FLAIR MR.
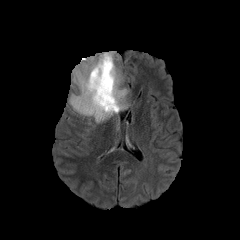
T1-weighted MR image.
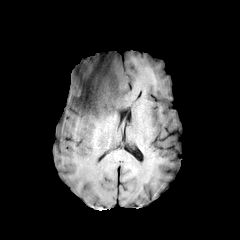
Post-contrast T1-weighted MRI.
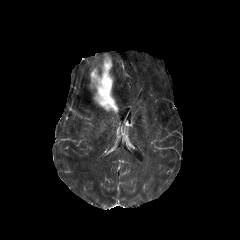
T2-weighted MR image.
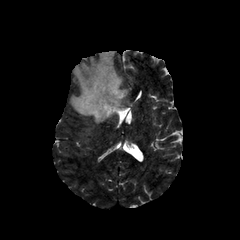
Brain
{"enhancing_tumor": ["90, 55, 117, 111"], "peritumoral_edema": ["69, 51, 128, 123"]}